Axial view.
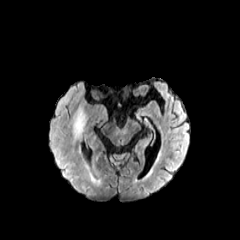
FLAIR MRI.
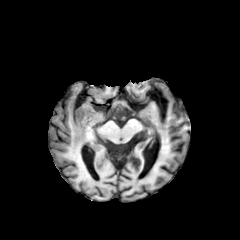
Same slice, T1-weighted MRI.
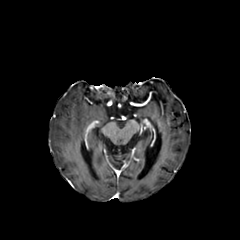
Post-contrast T1-weighted MR image of the same slice.
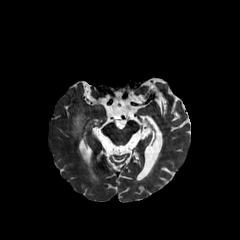
T2-weighted MR of the same slice.
{"peritumoral_edema": ["(left=73, top=108, right=86, bottom=139)"]}